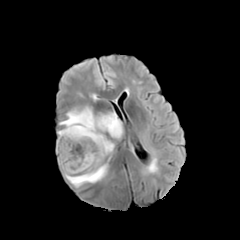
FLAIR MRI.
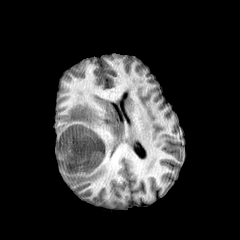
T1-weighted MR.
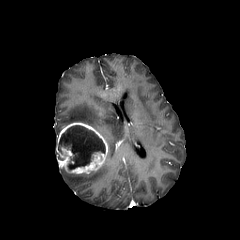
Post-contrast T1-weighted MRI of the same slice.
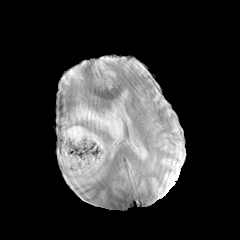
T2-weighted MRI.
Brain | 240x240 px
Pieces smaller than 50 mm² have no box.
peritumoral_edema:
  - <box>63,163,108,187</box>
  - <box>59,106,123,154</box>
necrotic_tumor_core:
  - <box>58,125,105,169</box>
enhancing_tumor:
  - <box>56,122,108,174</box>